Axial view | Image covers 240 mm x 240 mm | Slice 86 of 155
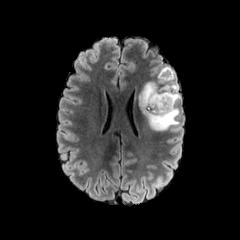
FLAIR magnetic resonance.
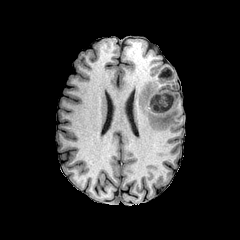
T1-weighted MR image.
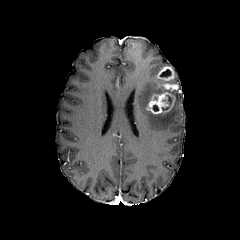
Same slice, post-contrast T1-weighted magnetic resonance.
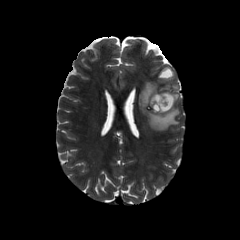
T2-weighted MR.
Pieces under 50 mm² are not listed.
enhancing_tumor:
  - <bbox>145, 92, 175, 115</bbox>
  - <bbox>157, 66, 178, 91</bbox>
peritumoral_edema:
  - <bbox>169, 70, 177, 83</bbox>
  - <bbox>138, 81, 180, 132</bbox>
necrotic_tumor_core:
  - <bbox>160, 69, 171, 77</bbox>